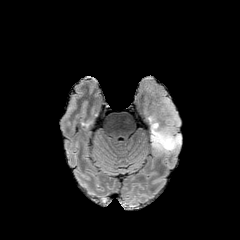
FLAIR MR.
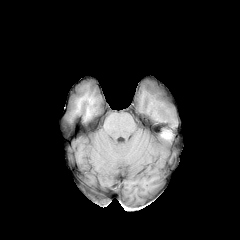
T1-weighted MRI of the same slice.
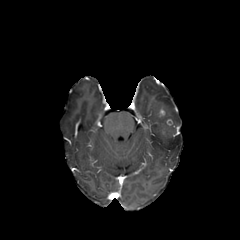
Post-contrast T1-weighted magnetic resonance.
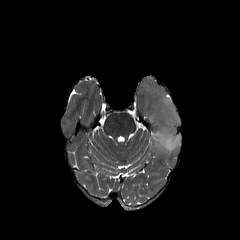
T2-weighted MR.
Brain
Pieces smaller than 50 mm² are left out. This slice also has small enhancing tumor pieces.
peritumoral edema — (x1=140, y1=80, x2=181, y2=156)